Head | 240x240
FLAIR MR image.
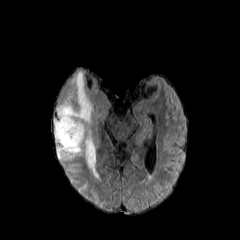
T1-weighted MRI.
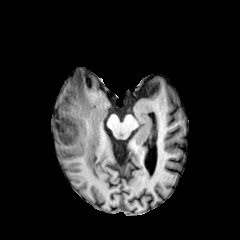
Post-contrast T1-weighted MRI.
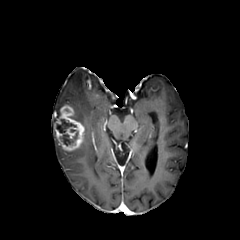
T2-weighted MR image.
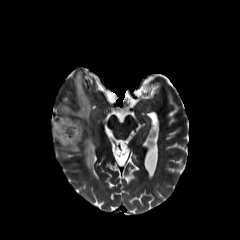
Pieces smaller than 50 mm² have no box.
The 2 largest peritumoral edema regions are bounded by box=[57, 102, 72, 115]; box=[57, 71, 98, 178]. The enhancing tumor appears at box=[54, 104, 84, 151]. The largest necrotic tumor core region is at box=[56, 119, 77, 145].